Slice index 64, Head, Axial view
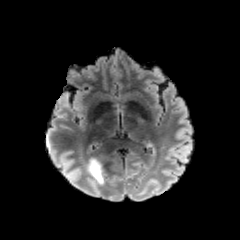
FLAIR magnetic resonance.
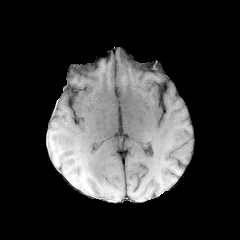
Same slice, T1-weighted MRI.
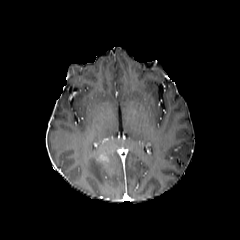
Post-contrast T1-weighted MRI.
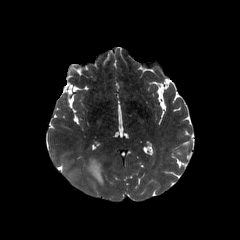
Same slice, T2-weighted MRI.
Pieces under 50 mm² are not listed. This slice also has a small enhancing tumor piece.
peritumoral edema: (86, 151, 106, 185)